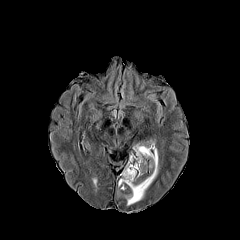
FLAIR MR image.
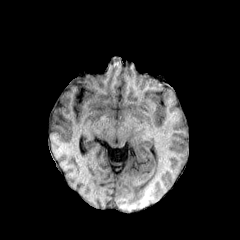
T1-weighted MR image.
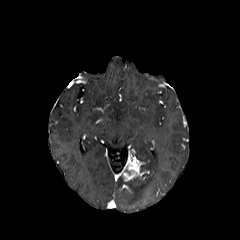
Post-contrast T1-weighted MR of the same slice.
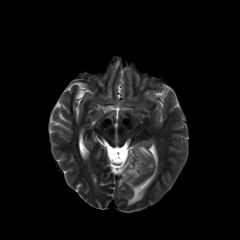
T2-weighted magnetic resonance of the same slice.
Brain
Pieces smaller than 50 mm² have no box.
The enhancing tumor is located at left=120, top=154, right=142, bottom=181. The largest peritumoral edema region is located at left=118, top=145, right=158, bottom=205.